Head.
FLAIR MR image.
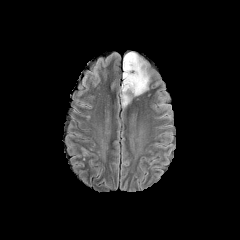
T1-weighted MR image.
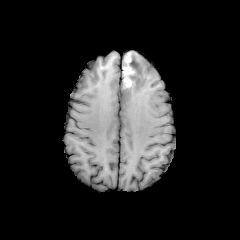
Post-contrast T1-weighted MRI.
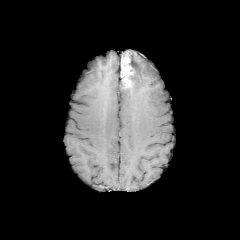
T2-weighted MRI.
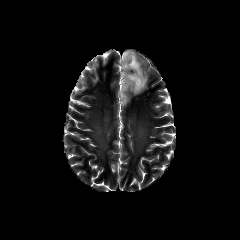
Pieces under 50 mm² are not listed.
peritumoral edema: 120, 52, 149, 106 | necrotic tumor core: 128, 54, 136, 88 | enhancing tumor: 122, 53, 133, 90